FLAIR MR.
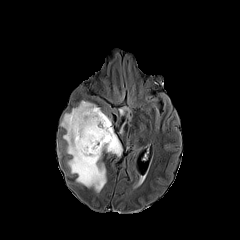
T1-weighted MRI.
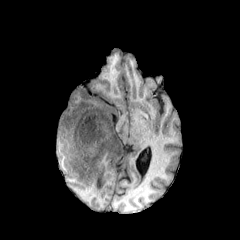
Post-contrast T1-weighted MRI.
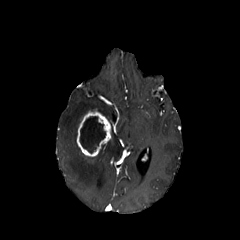
T2-weighted MR.
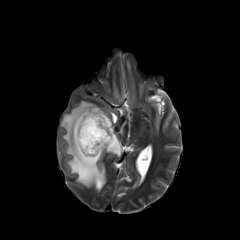
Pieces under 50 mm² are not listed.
Findings:
* peritumoral edema: {"x1": 60, "y1": 100, "x2": 122, "y2": 192}
* necrotic tumor core: {"x1": 80, "y1": 116, "x2": 105, "y2": 153}
* enhancing tumor: {"x1": 76, "y1": 109, "x2": 111, "y2": 157}